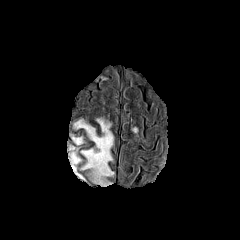
FLAIR MR.
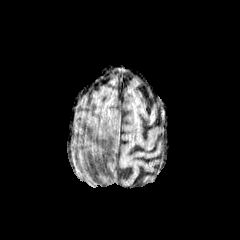
T1-weighted MRI.
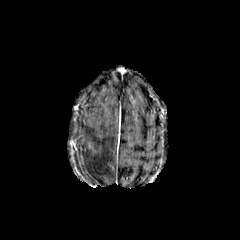
Post-contrast T1-weighted MR.
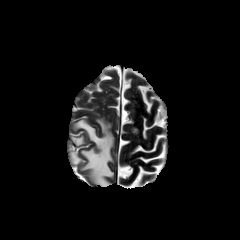
Same slice, T2-weighted MR.
Brain
{
  "peritumoral_edema": [
    "73,138,82,144",
    "74,118,113,183",
    "71,153,80,163"
  ]
}